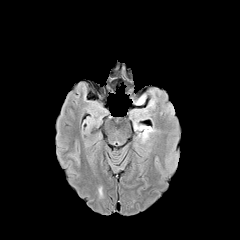
FLAIR MR.
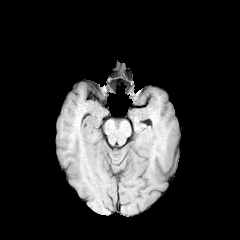
T1-weighted magnetic resonance.
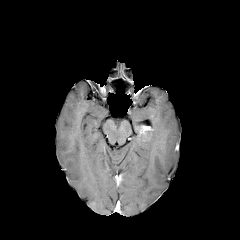
Post-contrast T1-weighted MRI.
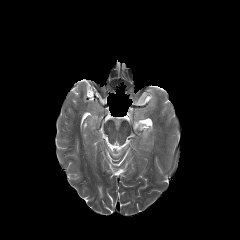
T2-weighted MRI.
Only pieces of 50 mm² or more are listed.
The enhancing tumor appears at x1=141, y1=126, x2=151, y2=134. The largest peritumoral edema region appears at x1=138, y1=127, x2=155, y2=143.